FLAIR MR.
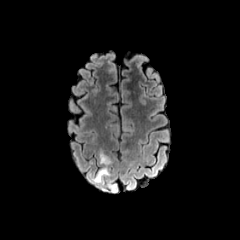
T1-weighted MR.
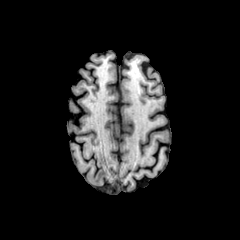
Post-contrast T1-weighted MR image.
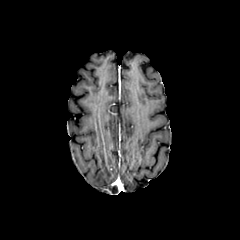
T2-weighted MR.
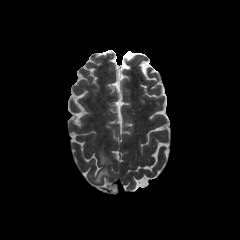
Brain. 240x240. Axial plane.
2 peritumoral edema regions are bounded by 99, 151, 111, 164; 90, 167, 109, 182.